FLAIR magnetic resonance.
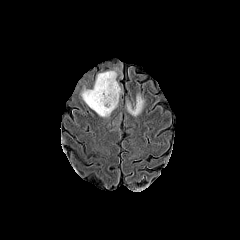
T1-weighted MRI.
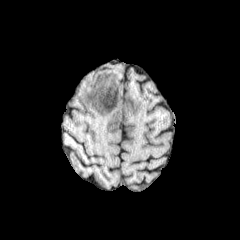
Post-contrast T1-weighted magnetic resonance.
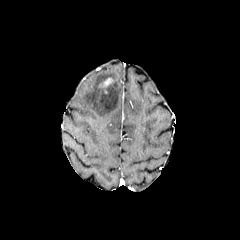
T2-weighted MRI.
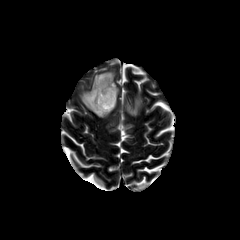
Head | 240x240
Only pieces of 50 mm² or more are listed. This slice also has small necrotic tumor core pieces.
{"peritumoral_edema": ["81, 71, 120, 117", "127, 95, 143, 116"], "enhancing_tumor": ["103, 78, 112, 86"]}